FLAIR magnetic resonance.
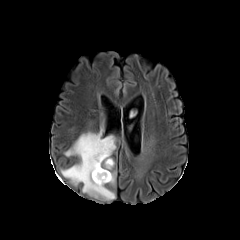
T1-weighted MR image.
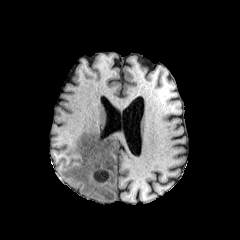
Post-contrast T1-weighted MR.
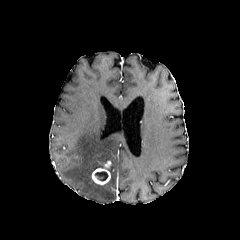
T2-weighted magnetic resonance.
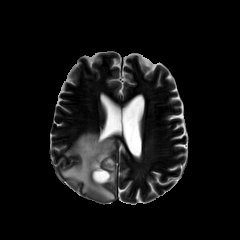
Head, Axial view, 240x240 px
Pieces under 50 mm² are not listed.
necrotic tumor core — 95, 171, 107, 180
peritumoral edema — 61, 132, 118, 200; 107, 172, 115, 184
enhancing tumor — 92, 160, 111, 184